Axial plane. Slice 114/155. Image width 240 mm, 1.00 mm slice spacing. Head. 240x240 px.
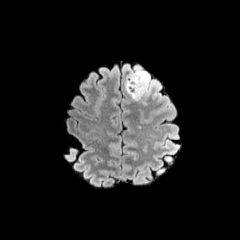
FLAIR MR image.
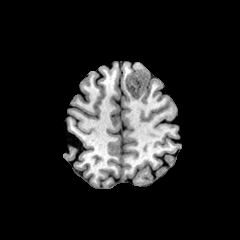
T1-weighted MR image.
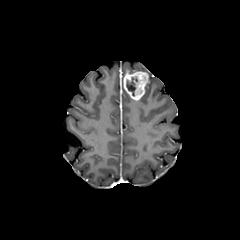
Post-contrast T1-weighted MRI.
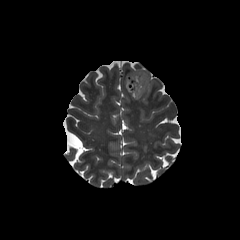
T2-weighted MR of the same slice.
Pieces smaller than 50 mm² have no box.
The enhancing tumor is located at l=123, t=72, r=148, b=100. The necrotic tumor core is at l=126, t=77, r=137, b=96. The largest peritumoral edema region is at l=143, t=74, r=155, b=95.